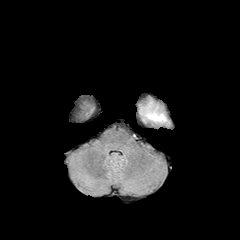
FLAIR MR.
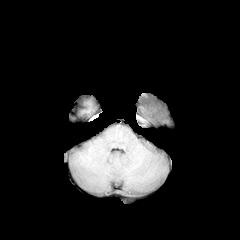
T1-weighted MR image.
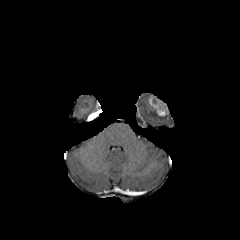
Post-contrast T1-weighted MR image.
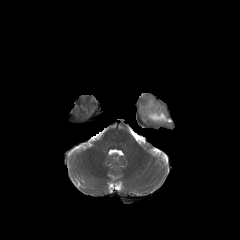
T2-weighted magnetic resonance.
240x240
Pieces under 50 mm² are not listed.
enhancing_tumor:
  - l=147, t=95, r=168, b=116
peritumoral_edema:
  - l=140, t=104, r=167, b=122
necrotic_tumor_core:
  - l=150, t=109, r=166, b=119